FLAIR MR.
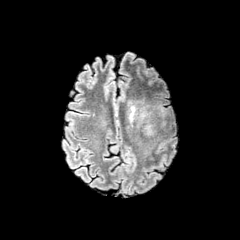
T1-weighted MR image.
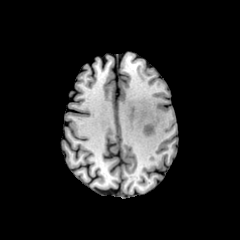
Post-contrast T1-weighted MR image.
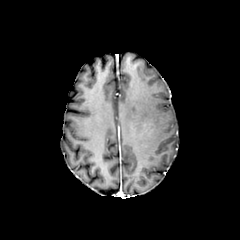
T2-weighted MRI.
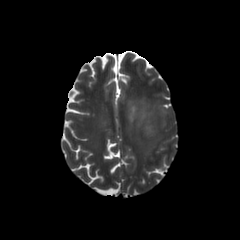
Head, Axial view
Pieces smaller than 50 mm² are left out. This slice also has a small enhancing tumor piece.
peritumoral edema = (x1=127, y1=98, x2=155, y2=134)